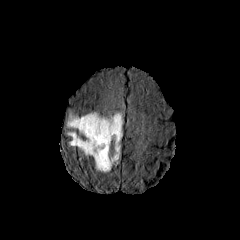
FLAIR magnetic resonance.
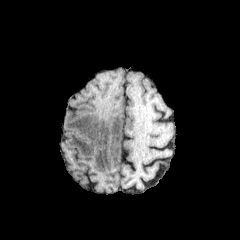
T1-weighted magnetic resonance.
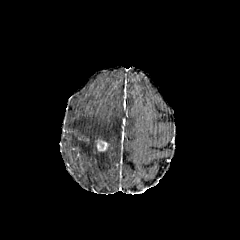
Post-contrast T1-weighted MRI.
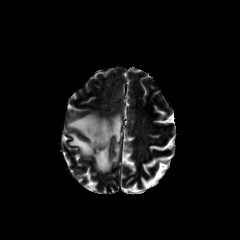
T2-weighted MR.
Axial plane; 240x240 px
The enhancing tumor appears at (left=95, top=139, right=108, bottom=151). The peritumoral edema lies within (left=67, top=111, right=123, bottom=172).